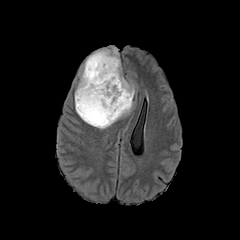
FLAIR MRI.
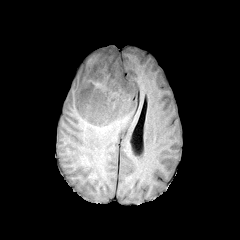
T1-weighted MR of the same slice.
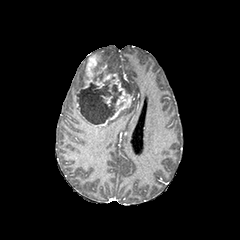
Post-contrast T1-weighted MRI of the same slice.
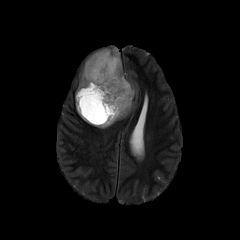
T2-weighted MRI of the same slice.
Brain
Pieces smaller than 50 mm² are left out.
enhancing tumor: 82,54,132,125; 75,96,87,119; 102,96,112,105
necrotic tumor core: 77,80,121,123
peritumoral edema: 74,58,88,99; 75,46,135,129